Axial plane, Brain
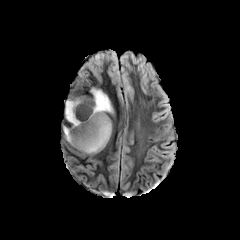
FLAIR MR image.
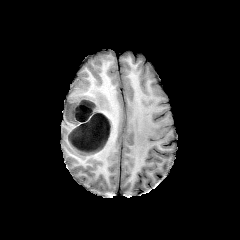
T1-weighted MR image of the same slice.
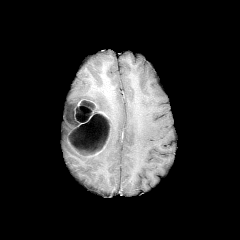
Post-contrast T1-weighted MR image of the same slice.
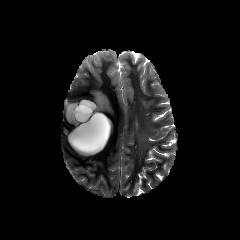
T2-weighted MR.
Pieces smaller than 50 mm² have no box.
Findings:
• necrotic tumor core: (80,106,91,112), (75,112,90,122), (69,113,109,152), (64,104,77,125), (81,101,94,108)
• peritumoral edema: (91,88,113,113), (63,127,69,139)
• enhancing tumor: (62,100,112,154)